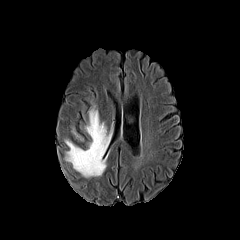
FLAIR magnetic resonance.
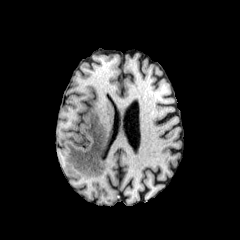
T1-weighted MR.
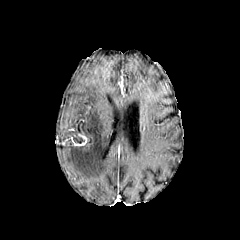
Post-contrast T1-weighted MR image.
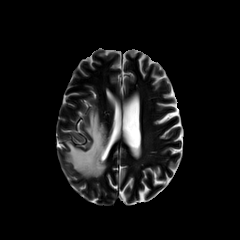
T2-weighted MR image.
Brain | Axial slice
{
  "peritumoral_edema": [
    "[x1=65, y1=106, x2=110, y2=177]"
  ]
}